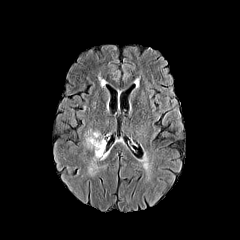
FLAIR MR image.
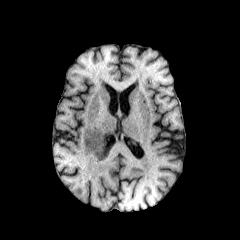
T1-weighted MRI.
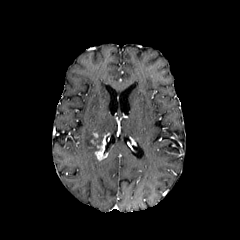
Post-contrast T1-weighted MR.
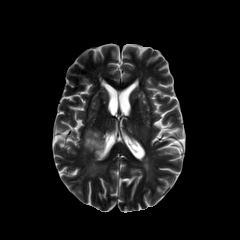
T2-weighted MRI.
Axial plane | Brain
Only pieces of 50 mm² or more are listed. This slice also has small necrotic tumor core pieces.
2 peritumoral edema regions appear at [83, 128, 103, 150], [85, 155, 106, 177]. The largest enhancing tumor region lies within [95, 135, 108, 160].